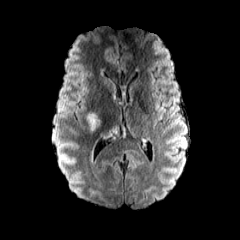
FLAIR MR image.
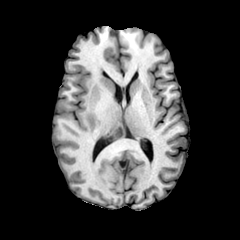
T1-weighted MR of the same slice.
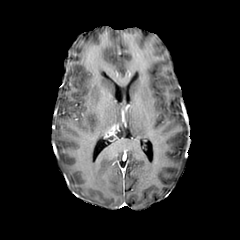
Same slice, post-contrast T1-weighted MR.
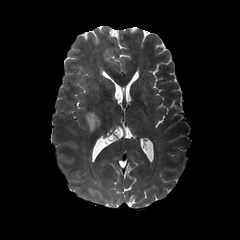
T2-weighted MRI of the same slice.
Axial plane.
enhancing tumor = {"x1": 106, "y1": 124, "x2": 117, "y2": 136}
peritumoral edema = {"x1": 99, "y1": 125, "x2": 126, "y2": 140}, {"x1": 86, "y1": 112, "x2": 100, "y2": 131}